FLAIR magnetic resonance.
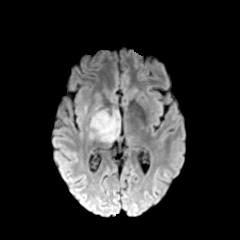
T1-weighted MR.
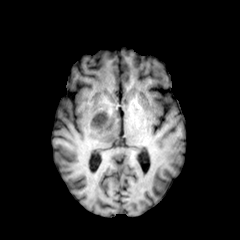
Post-contrast T1-weighted magnetic resonance.
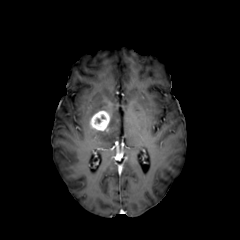
T2-weighted MRI.
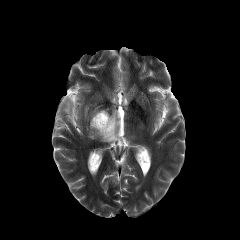
240x240, Head, Axial view
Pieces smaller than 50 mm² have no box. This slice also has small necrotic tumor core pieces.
peritumoral edema: bounding box <box>89,110,119,142</box>
enhancing tumor: bounding box <box>90,110,110,131</box>